FLAIR magnetic resonance.
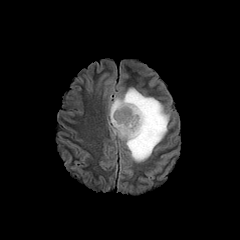
T1-weighted MR image.
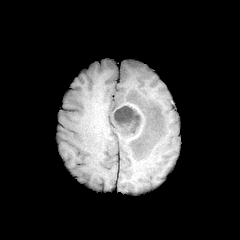
Post-contrast T1-weighted MRI.
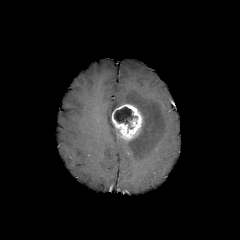
T2-weighted MR.
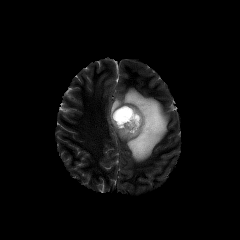
Brain
- enhancing tumor: left=111, top=104, right=142, bottom=140
- necrotic tumor core: left=114, top=107, right=137, bottom=123
- peritumoral edema: left=110, top=124, right=118, bottom=136; left=109, top=88, right=169, bottom=162